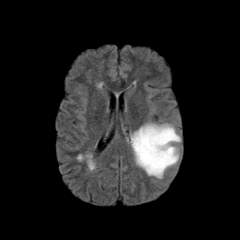
FLAIR MR.
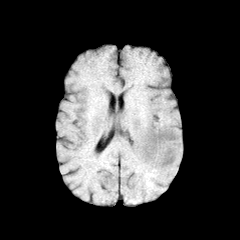
T1-weighted MR image of the same slice.
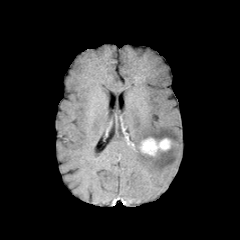
Post-contrast T1-weighted magnetic resonance of the same slice.
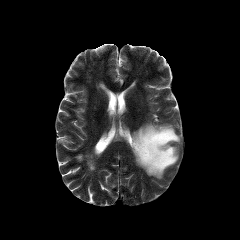
Same slice, T2-weighted MR image.
Image size 240x240.
{"peritumoral_edema": [{"x1": 130, "y1": 122, "x2": 180, "y2": 178}], "enhancing_tumor": [{"x1": 139, "y1": 137, "x2": 170, "y2": 156}]}